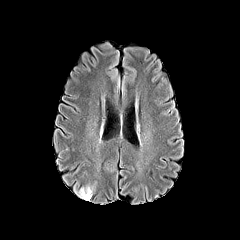
FLAIR MRI.
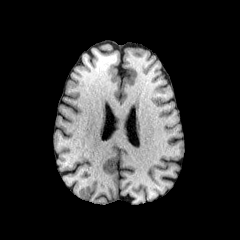
T1-weighted MR image.
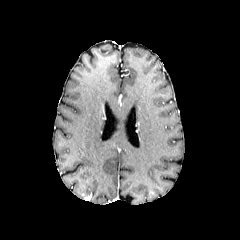
Post-contrast T1-weighted MR of the same slice.
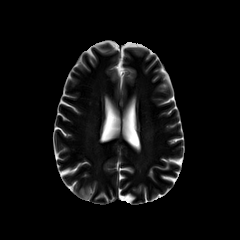
T2-weighted MR image.
240x240
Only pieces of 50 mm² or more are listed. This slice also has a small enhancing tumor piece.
peritumoral edema: [76, 186, 93, 198]